Slice index 127. Head.
FLAIR MR image.
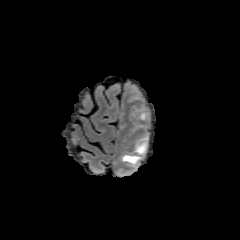
T1-weighted MR image.
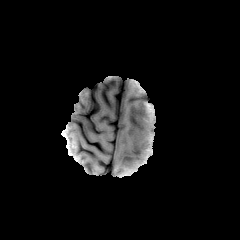
Post-contrast T1-weighted magnetic resonance.
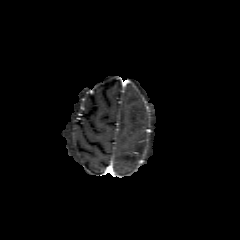
T2-weighted MRI.
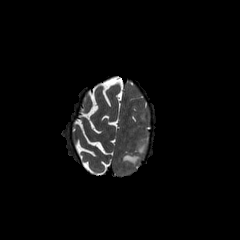
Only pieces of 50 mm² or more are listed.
peritumoral_edema:
  - bbox=[122, 136, 147, 164]